FLAIR magnetic resonance.
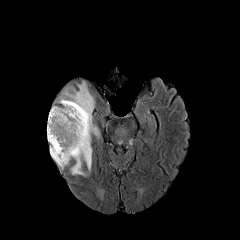
T1-weighted MR.
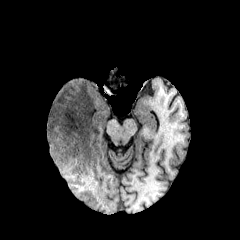
Post-contrast T1-weighted MRI.
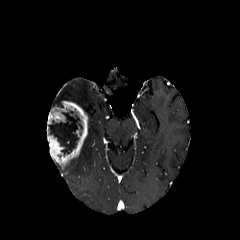
T2-weighted MRI.
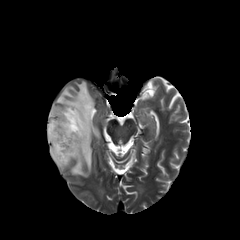
Axial plane | Head | Image size 240x240
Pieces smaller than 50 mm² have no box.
The enhancing tumor lies within rect(47, 101, 88, 168). The largest peritumoral edema region appears at rect(55, 81, 99, 176). The largest necrotic tumor core region is at rect(48, 112, 82, 155).